Head, Axial plane
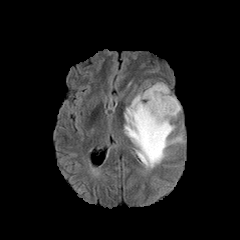
FLAIR MR image.
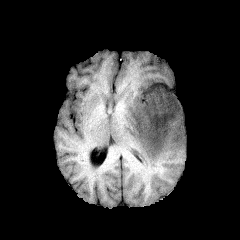
T1-weighted MR.
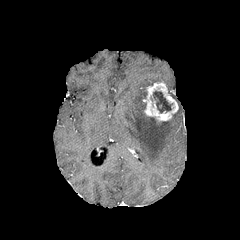
Post-contrast T1-weighted MRI of the same slice.
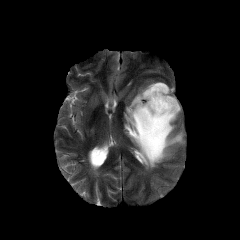
Same slice, T2-weighted magnetic resonance.
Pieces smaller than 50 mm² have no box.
The largest peritumoral edema region appears at [124, 89, 183, 168]. The necrotic tumor core is bounded by [153, 91, 172, 112]. The enhancing tumor appears at [144, 82, 178, 122].